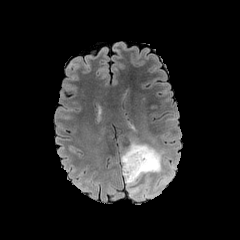
FLAIR MR.
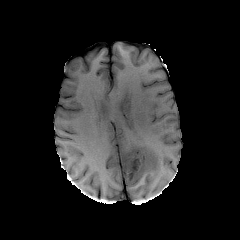
Same slice, T1-weighted magnetic resonance.
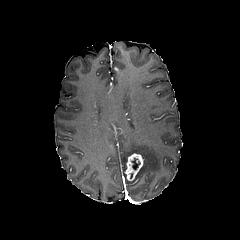
Post-contrast T1-weighted MR of the same slice.
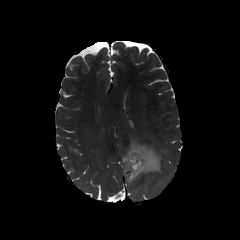
T2-weighted MRI of the same slice.
Axial view | 240x240 px
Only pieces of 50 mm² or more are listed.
The largest peritumoral edema region is bounded by 121 139 166 196. The largest necrotic tumor core region lies within 131 158 140 169. The largest enhancing tumor region lies within 124 153 144 181.